FLAIR MR.
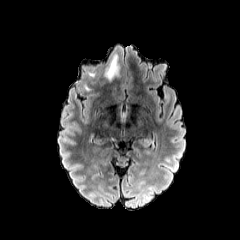
T1-weighted MR.
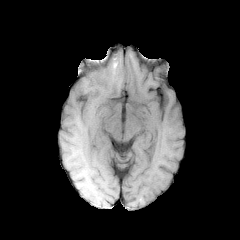
Post-contrast T1-weighted MR image.
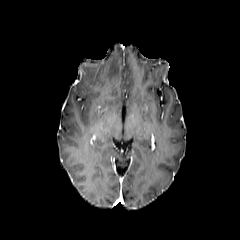
T2-weighted magnetic resonance.
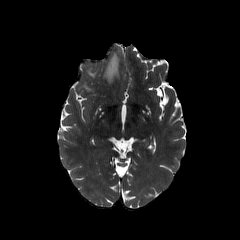
Head
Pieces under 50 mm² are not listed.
peritumoral edema at bbox=[105, 56, 118, 80]